FLAIR MRI.
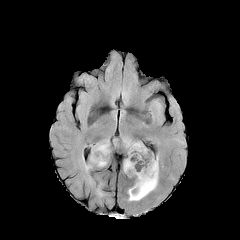
T1-weighted magnetic resonance.
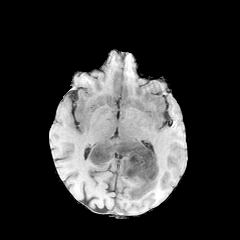
Post-contrast T1-weighted MR.
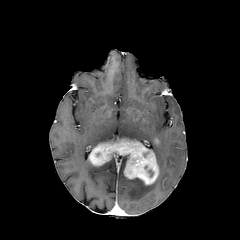
T2-weighted MRI.
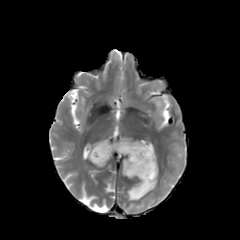
240x240 px
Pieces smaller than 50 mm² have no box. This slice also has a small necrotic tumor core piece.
enhancing_tumor:
  - x1=89, y1=138, x2=158, y2=185
peritumoral_edema:
  - x1=128, y1=176, x2=158, y2=200